Slice 84 of 155, Head
FLAIR magnetic resonance.
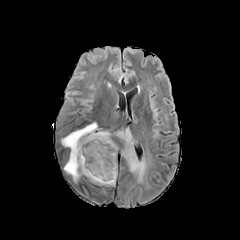
T1-weighted MRI.
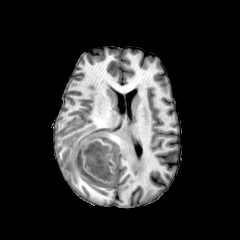
Post-contrast T1-weighted MRI.
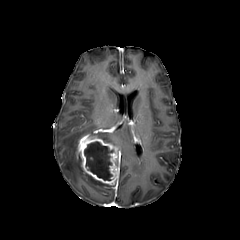
T2-weighted magnetic resonance.
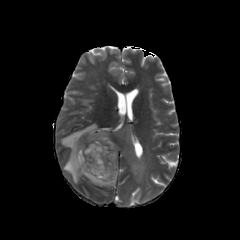
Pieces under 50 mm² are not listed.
peritumoral edema = [61,122,147,186]
necrotic tumor core = [84,142,113,180]
enhancing tumor = [76,134,119,185]